FLAIR magnetic resonance.
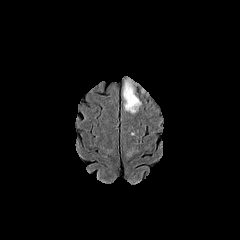
T1-weighted MR.
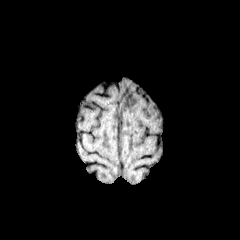
Post-contrast T1-weighted magnetic resonance.
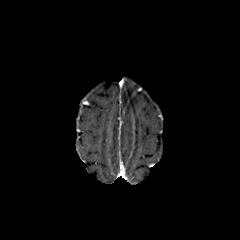
T2-weighted MRI.
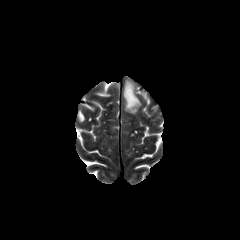
Head
Annotated regions:
* peritumoral edema: <bbox>123, 82, 140, 113</bbox>